Head; Slice index 55
FLAIR MR image.
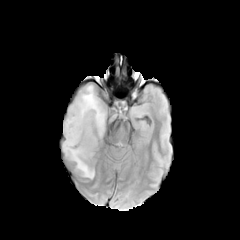
T1-weighted MR.
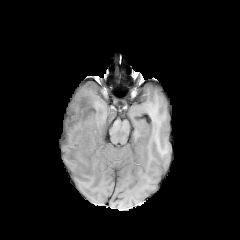
Post-contrast T1-weighted magnetic resonance.
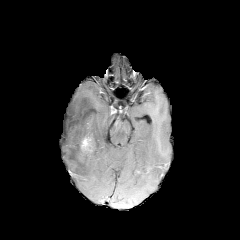
T2-weighted magnetic resonance.
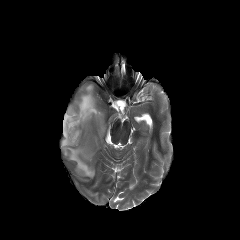
peritumoral edema: (left=62, top=83, right=105, bottom=178)
enhancing tumor: (left=80, top=135, right=92, bottom=154)